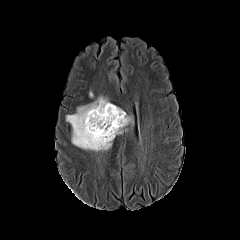
FLAIR MR image.
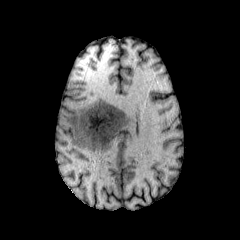
T1-weighted MR.
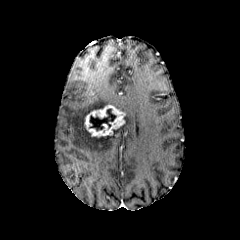
Post-contrast T1-weighted MR.
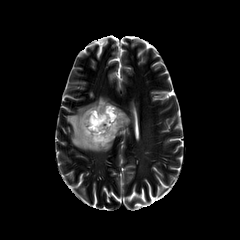
T2-weighted MR.
Brain, 240x240
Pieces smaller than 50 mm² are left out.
enhancing tumor — <box>84,105,125,137</box>
peritumoral edema — <box>66,96,131,151</box>
necrotic tumor core — <box>89,108,116,130</box>